Slice 67 of 155, Axial plane, Head, Image width 240 mm
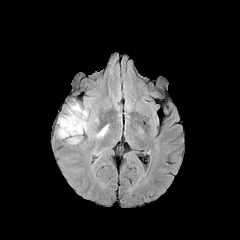
FLAIR magnetic resonance.
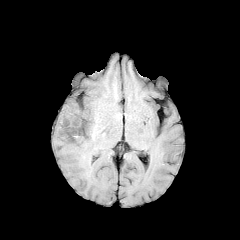
Same slice, T1-weighted MR.
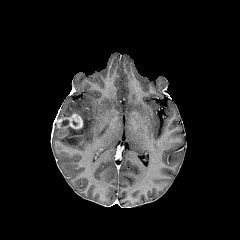
Same slice, post-contrast T1-weighted MR image.
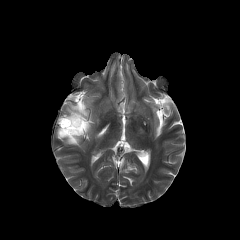
Same slice, T2-weighted MR.
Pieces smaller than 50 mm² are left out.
peritumoral_edema:
  - box=[96, 125, 107, 138]
  - box=[57, 103, 92, 138]
  - box=[67, 137, 80, 144]
necrotic_tumor_core:
  - box=[61, 119, 68, 127]
enhancing_tumor:
  - box=[57, 113, 83, 136]